240x240 px. Slice 95/155.
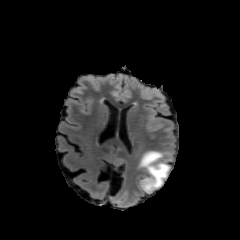
FLAIR MRI.
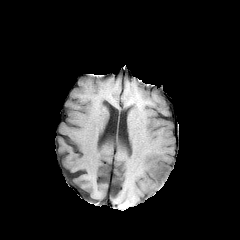
T1-weighted MR image.
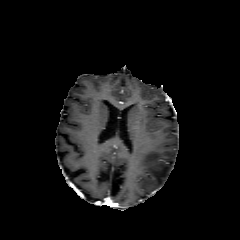
Post-contrast T1-weighted MRI of the same slice.
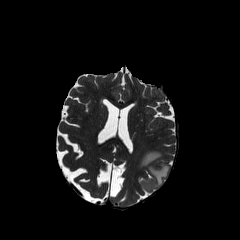
T2-weighted MR.
Annotated regions:
- peritumoral edema: x1=138 y1=151 x2=170 y2=191